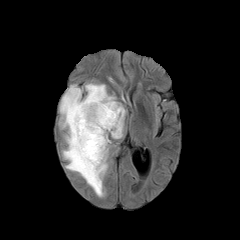
FLAIR MR.
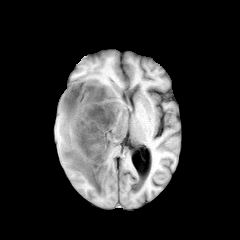
T1-weighted MR.
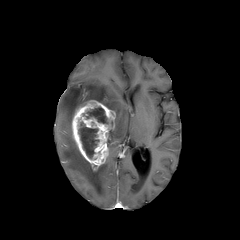
Post-contrast T1-weighted MR image.
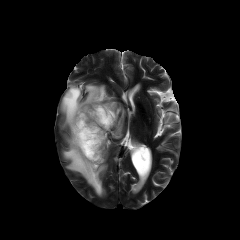
T2-weighted MR of the same slice.
Axial slice.
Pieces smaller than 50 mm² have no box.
The largest peritumoral edema region is located at (left=60, top=83, right=125, bottom=196). The enhancing tumor is located at (left=71, top=100, right=115, bottom=170). The 2 largest necrotic tumor core regions are bounded by (left=86, top=107, right=107, bottom=123), (left=79, top=122, right=98, bottom=158).